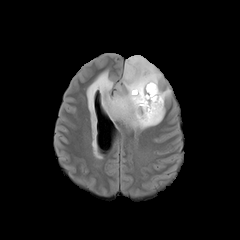
FLAIR magnetic resonance.
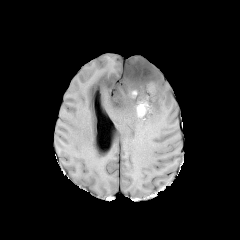
T1-weighted MR image of the same slice.
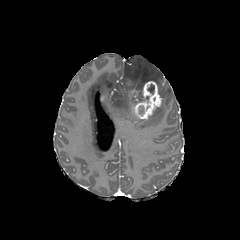
Post-contrast T1-weighted MR.
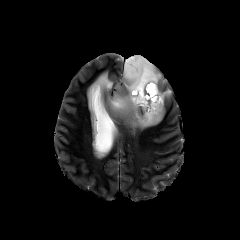
T2-weighted MR.
Axial plane | Head
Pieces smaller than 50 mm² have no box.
<segmentation>
  <enhancing_tumor>region(131, 81, 162, 119)</enhancing_tumor>
  <peritumoral_edema>region(87, 55, 171, 129)</peritumoral_edema>
</segmentation>